240x240. Axial plane. Image width 240 mm, 1.00 mm slice spacing.
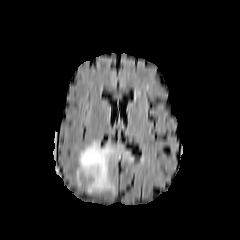
FLAIR magnetic resonance.
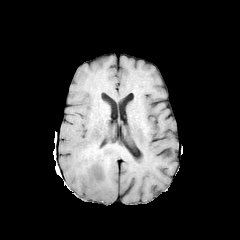
T1-weighted MR.
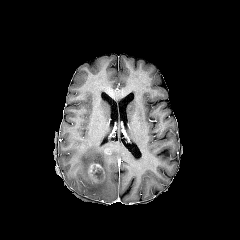
Post-contrast T1-weighted magnetic resonance.
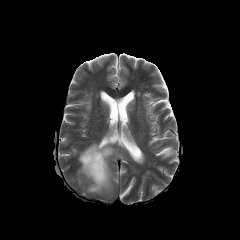
T2-weighted MR.
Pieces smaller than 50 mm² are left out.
The peritumoral edema appears at <box>74,141,129,194</box>. The largest enhancing tumor region is bounded by <box>88,163,103,182</box>. The necrotic tumor core is bounded by <box>93,170,102,179</box>.